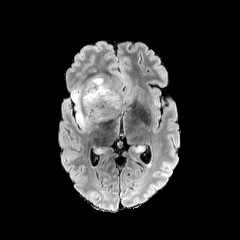
FLAIR MRI.
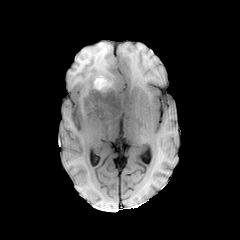
T1-weighted MR image.
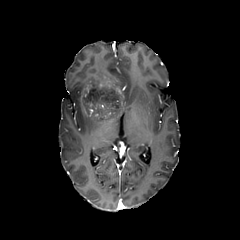
Post-contrast T1-weighted MR image of the same slice.
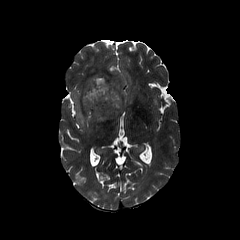
T2-weighted magnetic resonance.
Axial plane; Brain
{
  "enhancing_tumor": [
    "97, 77, 112, 89"
  ],
  "peritumoral_edema": [
    "72, 73, 138, 128"
  ]
}